Brain
FLAIR MR.
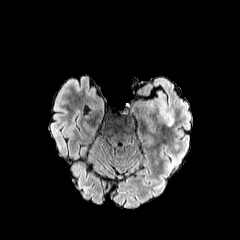
T1-weighted MR.
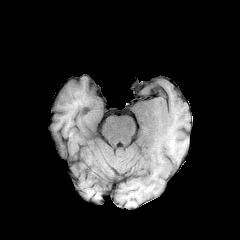
Post-contrast T1-weighted MR.
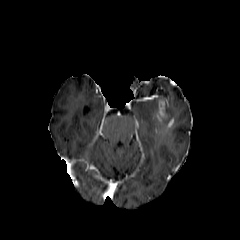
T2-weighted MRI.
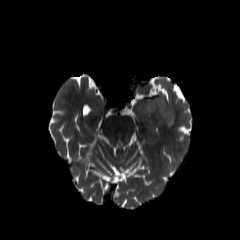
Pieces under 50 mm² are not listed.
enhancing tumor: bbox=[157, 99, 166, 124] | peritumoral edema: bbox=[158, 105, 172, 127]